Image width 240 mm, 1.00 mm slice spacing
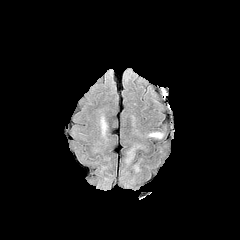
FLAIR MR image.
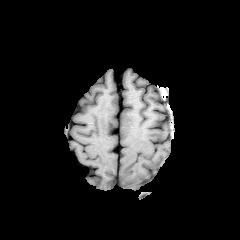
T1-weighted MRI.
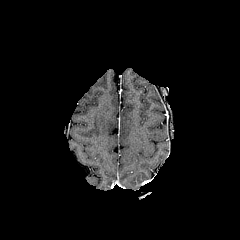
Same slice, post-contrast T1-weighted magnetic resonance.
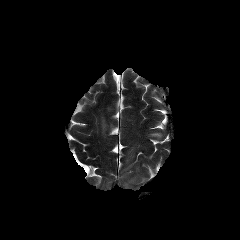
Same slice, T2-weighted magnetic resonance.
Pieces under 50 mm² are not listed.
{"peritumoral_edema": ["(left=100, top=116, right=107, bottom=137)", "(left=148, top=132, right=163, bottom=138)"]}